240x240 px; Slice 104 of 155; Head
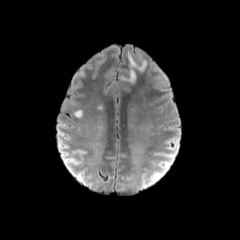
FLAIR magnetic resonance.
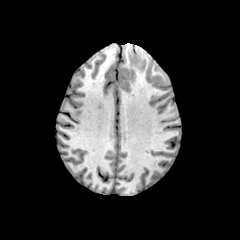
T1-weighted magnetic resonance.
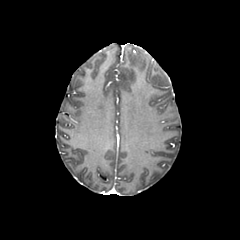
Same slice, post-contrast T1-weighted MRI.
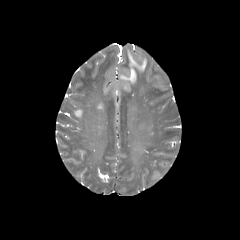
T2-weighted MR of the same slice.
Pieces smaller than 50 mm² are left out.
peritumoral edema: box=[121, 69, 135, 82]; box=[128, 53, 146, 71]